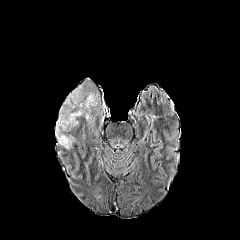
FLAIR MRI.
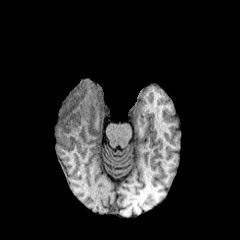
T1-weighted magnetic resonance.
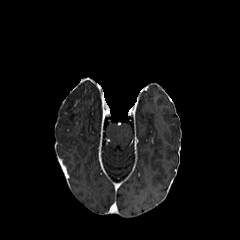
Same slice, post-contrast T1-weighted MR image.
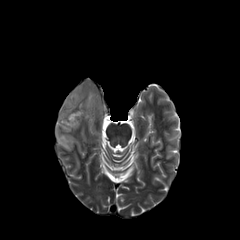
T2-weighted MRI.
<segmentation>
  <peritumoral_edema>[x1=56, y1=85, x2=100, y2=149]</peritumoral_edema>
</segmentation>